Slice 43 of 155 | Image width 240 mm | Head
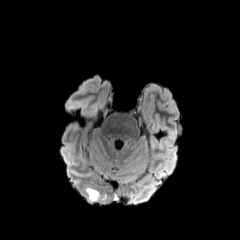
FLAIR magnetic resonance.
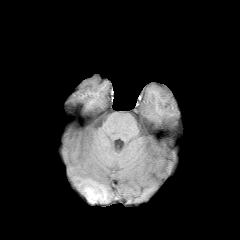
T1-weighted MR of the same slice.
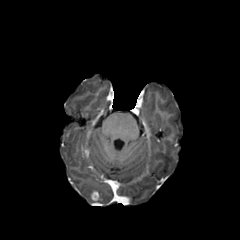
Post-contrast T1-weighted MRI of the same slice.
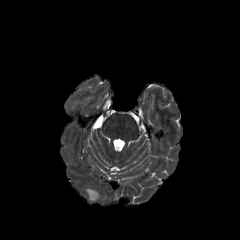
T2-weighted MR image.
<segmentation>
  <enhancing_tumor>box(91, 191, 99, 201)</enhancing_tumor>
  <peritumoral_edema>box(85, 186, 106, 202)</peritumoral_edema>
</segmentation>